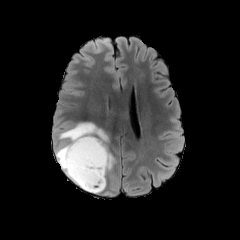
FLAIR MRI.
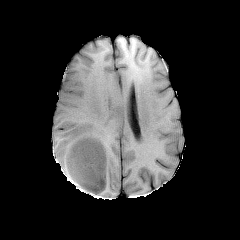
T1-weighted magnetic resonance of the same slice.
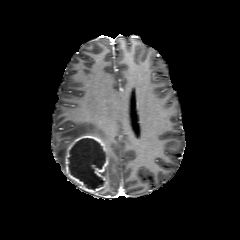
Same slice, post-contrast T1-weighted MR.
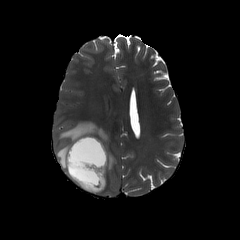
Same slice, T2-weighted MRI.
240x240 px
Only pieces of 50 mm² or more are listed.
The enhancing tumor is at x1=62, y1=135, x2=108, y2=194. The 2 largest peritumoral edema regions appear at x1=104, y1=144, x2=115, y2=176; x1=55, y1=122, x2=107, y2=169. The necrotic tumor core lies within x1=68, y1=138, x2=104, y2=189.